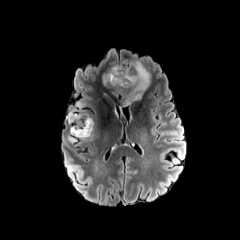
FLAIR MR.
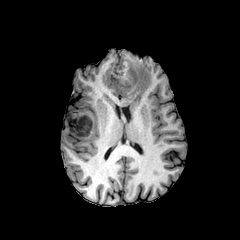
T1-weighted magnetic resonance of the same slice.
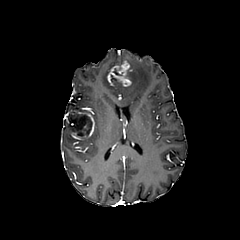
Post-contrast T1-weighted magnetic resonance.
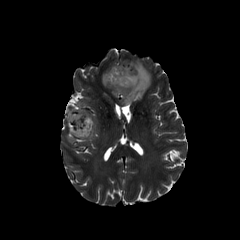
T2-weighted MRI of the same slice.
Brain; Axial plane
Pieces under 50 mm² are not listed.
Annotated regions:
• peritumoral edema: 113, 61, 150, 105
• enhancing tumor: 67, 111, 94, 139; 107, 61, 131, 86
• necrotic tumor core: 68, 113, 92, 136